FLAIR MR.
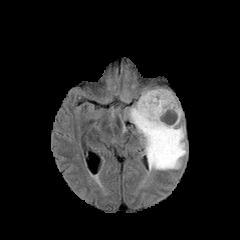
T1-weighted MR.
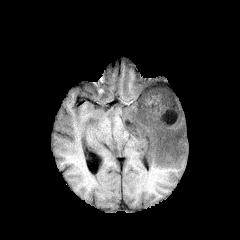
Post-contrast T1-weighted MR.
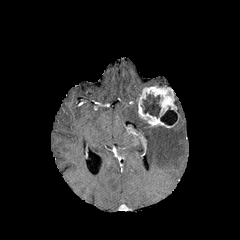
T2-weighted MR.
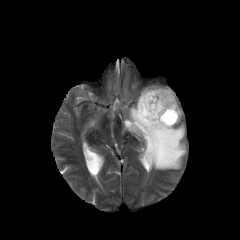
Axial plane. Head.
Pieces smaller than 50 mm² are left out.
<segmentation>
  <enhancing_tumor>(x1=138, y1=86, x2=180, y2=127)</enhancing_tumor>
  <peritumoral_edema>(x1=128, y1=99, x2=186, y2=170)</peritumoral_edema>
  <necrotic_tumor_core>(x1=160, y1=107, x2=177, y2=125), (x1=142, y1=94, x2=160, y2=117)</necrotic_tumor_core>
</segmentation>